Image width 240 mm, 1.00 mm slice spacing; Image size 240x240; Head; Axial plane; Slice 79 of 155
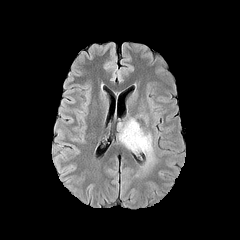
FLAIR MR image.
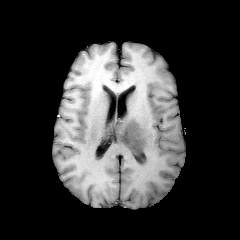
T1-weighted MRI of the same slice.
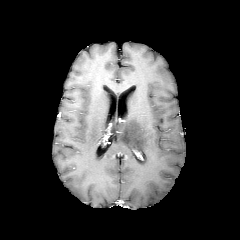
Post-contrast T1-weighted MRI of the same slice.
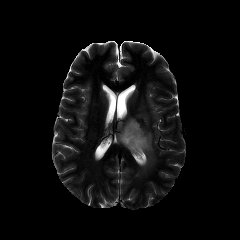
Same slice, T2-weighted MRI.
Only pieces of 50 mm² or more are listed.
peritumoral edema: bounding box bbox(117, 117, 155, 168)